Head; 240x240; Axial plane
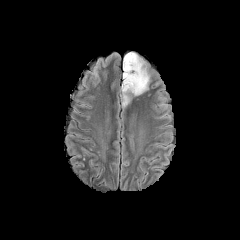
FLAIR magnetic resonance.
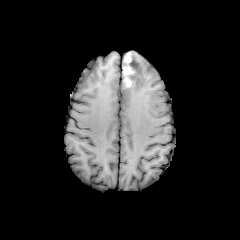
T1-weighted magnetic resonance.
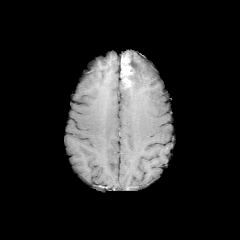
Post-contrast T1-weighted MRI of the same slice.
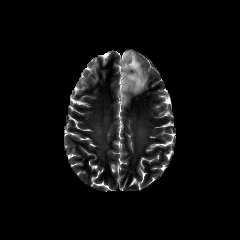
T2-weighted magnetic resonance of the same slice.
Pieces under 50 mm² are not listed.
necrotic tumor core — left=127, top=54, right=136, bottom=89
enhancing tumor — left=122, top=55, right=133, bottom=89
peritumoral edema — left=120, top=52, right=149, bottom=106